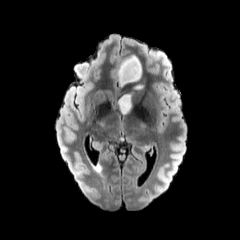
FLAIR MR image.
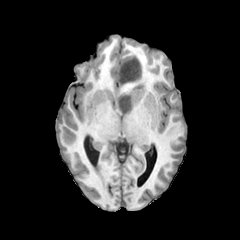
T1-weighted MR.
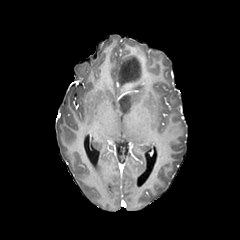
Same slice, post-contrast T1-weighted MR image.
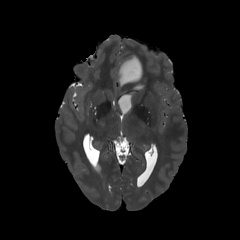
Same slice, T2-weighted MRI.
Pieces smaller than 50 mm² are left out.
{"peritumoral_edema": ["118, 92, 132, 113", "118, 55, 142, 84"]}